Head | Slice 99 of 155 | 240x240 | Image covers 240 mm x 240 mm
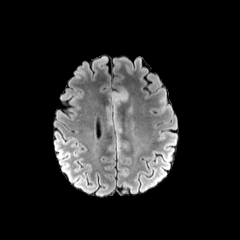
FLAIR magnetic resonance.
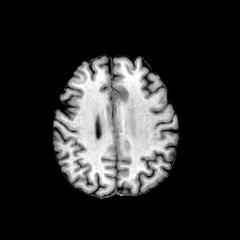
T1-weighted MRI.
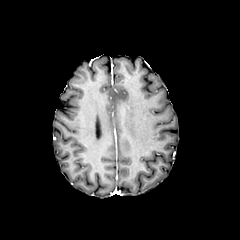
Post-contrast T1-weighted MRI.
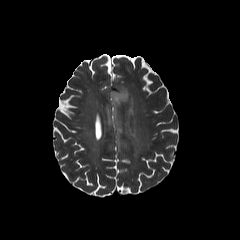
T2-weighted MR image.
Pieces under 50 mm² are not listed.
peritumoral edema: 110:87:129:119